FLAIR MR.
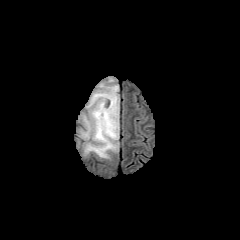
T1-weighted magnetic resonance.
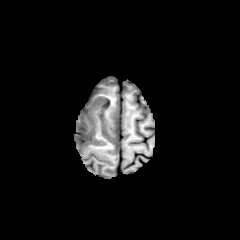
Post-contrast T1-weighted magnetic resonance.
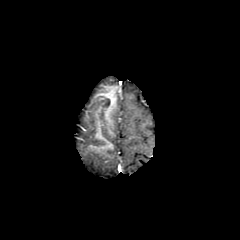
T2-weighted magnetic resonance.
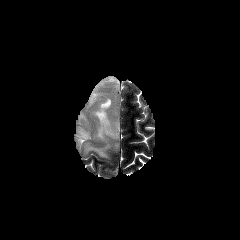
Head
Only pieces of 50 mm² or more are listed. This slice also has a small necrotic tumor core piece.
The peritumoral edema is located at 77:77:119:159. The enhancing tumor is located at 97:94:116:115.